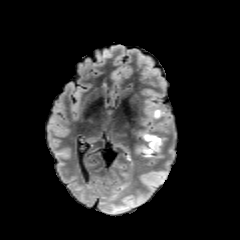
FLAIR MR.
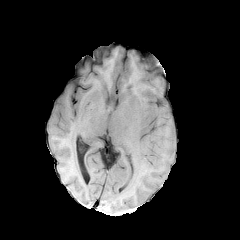
T1-weighted magnetic resonance.
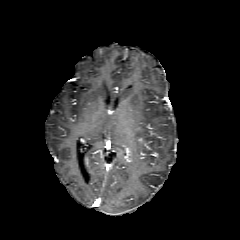
Same slice, post-contrast T1-weighted MR image.
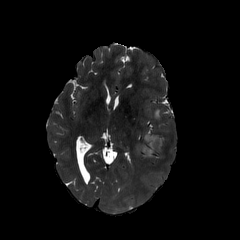
T2-weighted MRI.
Brain
2 peritumoral edema regions are bounded by 152,109,160,118; 139,133,165,157.